Brain, Image width 240 mm, 1.00 mm slice spacing, Axial view
FLAIR MR image.
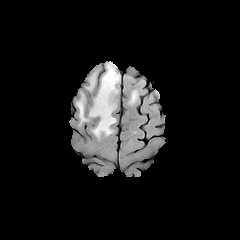
T1-weighted MR image.
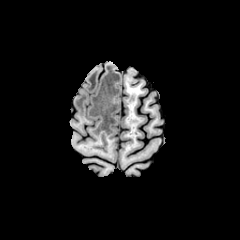
Post-contrast T1-weighted MRI.
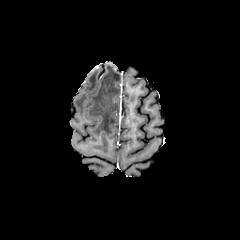
T2-weighted MR image.
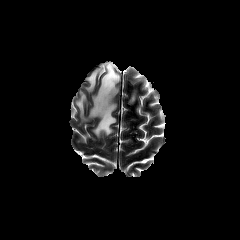
peritumoral edema — [x1=76, y1=92, x2=87, y2=121], [x1=87, y1=71, x2=97, y2=91], [x1=89, y1=63, x2=120, y2=137], [x1=129, y1=91, x2=137, y2=103]